FLAIR MR image.
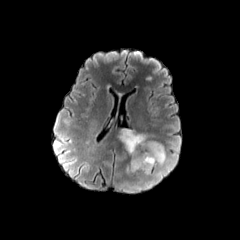
T1-weighted MR image.
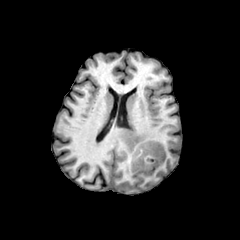
Post-contrast T1-weighted magnetic resonance.
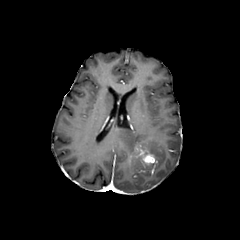
T2-weighted MRI.
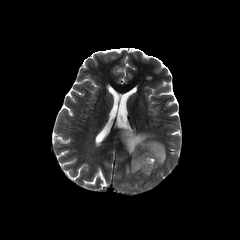
Brain
The enhancing tumor is bounded by 142, 154, 154, 163. The peritumoral edema appears at 119, 128, 165, 175.